Axial slice. Brain. Image size 240x240.
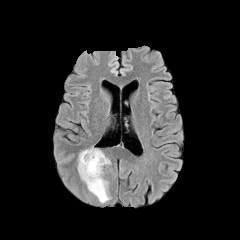
FLAIR MRI.
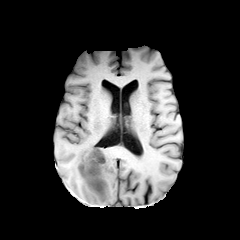
Same slice, T1-weighted MR image.
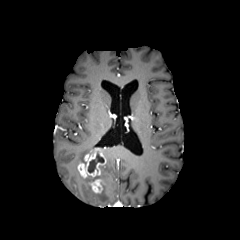
Same slice, post-contrast T1-weighted magnetic resonance.
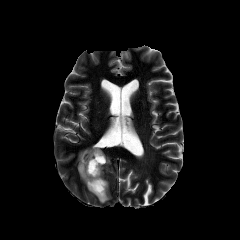
T2-weighted MR.
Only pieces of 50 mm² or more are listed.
necrotic tumor core at 88:153:104:172
peritumoral edema at 81:166:109:203, 78:147:94:164
enhancing tumor at 78:148:106:193